Slice index 88. Axial view. Image width 240 mm. Brain.
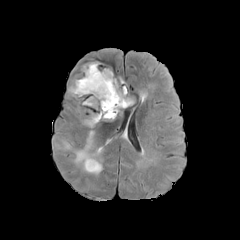
FLAIR MR image.
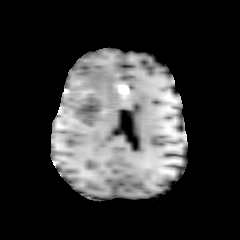
Same slice, T1-weighted MRI.
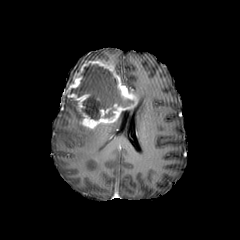
Post-contrast T1-weighted MRI of the same slice.
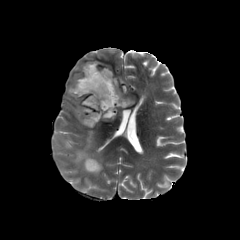
T2-weighted magnetic resonance.
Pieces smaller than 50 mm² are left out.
necrotic tumor core: bounding box bbox(87, 159, 96, 168); bbox(70, 64, 133, 119)
enhancing tumor: bounding box bbox(66, 60, 137, 128)
peritumoral edema: bounding box bbox(58, 129, 102, 173)